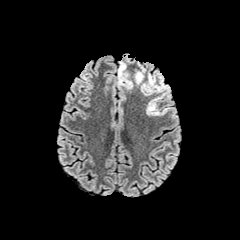
FLAIR MR.
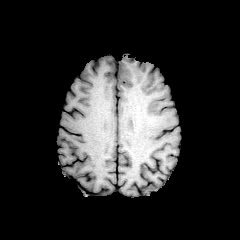
T1-weighted MRI of the same slice.
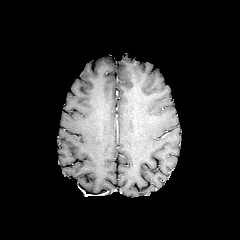
Same slice, post-contrast T1-weighted MR.
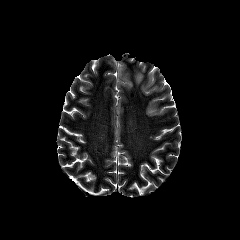
Same slice, T2-weighted MR.
Image size 240x240 | Brain | Axial view
Findings:
* peritumoral edema: 117,61,132,89; 146,95,168,115; 141,75,166,94; 134,68,144,84